FLAIR MR.
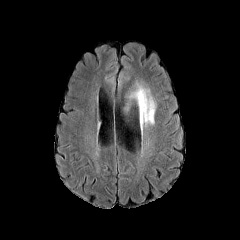
T1-weighted MR image.
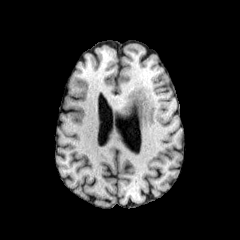
Post-contrast T1-weighted MR.
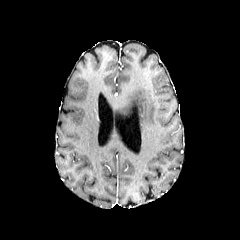
T2-weighted MR image.
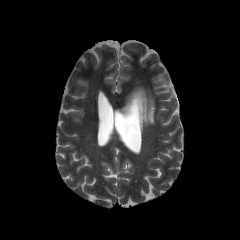
Axial plane
The peritumoral edema is bounded by box(129, 86, 155, 129).